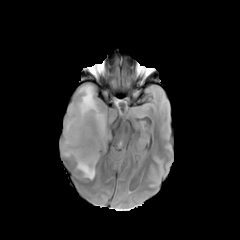
FLAIR MR image.
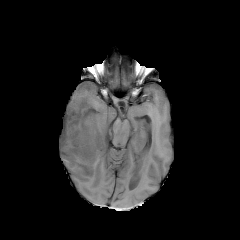
T1-weighted MR.
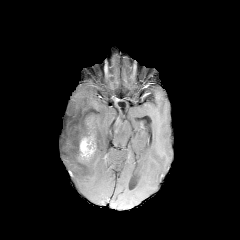
Post-contrast T1-weighted MR of the same slice.
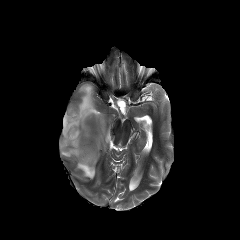
T2-weighted magnetic resonance.
Brain
enhancing tumor — bbox=[78, 118, 96, 161]
peritumoral edema — bbox=[60, 84, 107, 179]